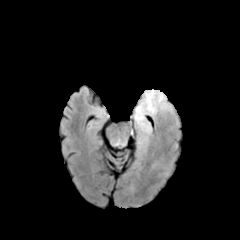
FLAIR MR.
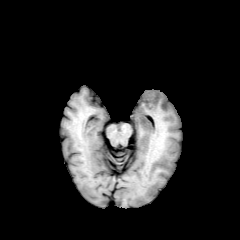
T1-weighted MR image.
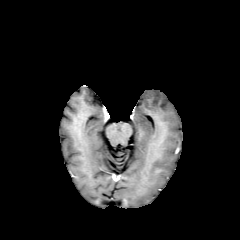
Post-contrast T1-weighted magnetic resonance.
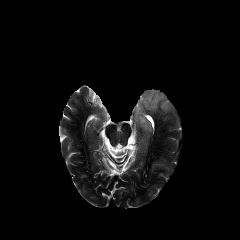
T2-weighted magnetic resonance.
Head; 240x240 px
The peritumoral edema lies within x1=133, y1=89, x2=173, y2=141.